Brain; Slice 77 of 155; Image width 240 mm; Image size 240x240
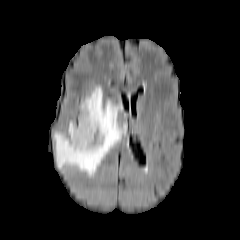
FLAIR MRI.
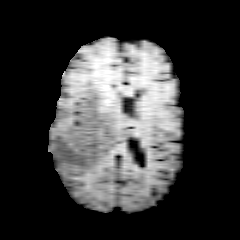
T1-weighted MR of the same slice.
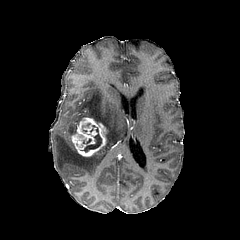
Post-contrast T1-weighted magnetic resonance.
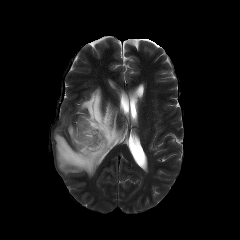
T2-weighted MR.
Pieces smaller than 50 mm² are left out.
{"peritumoral_edema": ["<box>54,86,126,176</box>"], "necrotic_tumor_core": ["<box>82,127,101,151</box>"], "enhancing_tumor": ["<box>71,117,107,156</box>"]}